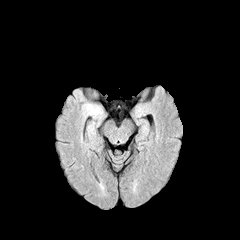
FLAIR magnetic resonance.
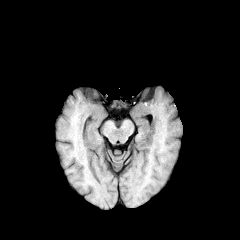
T1-weighted MR of the same slice.
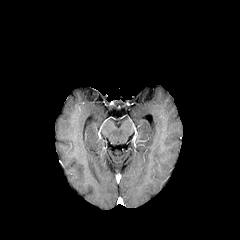
Post-contrast T1-weighted MRI of the same slice.
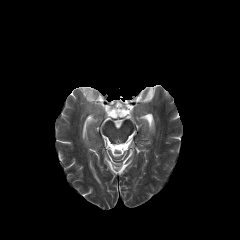
Same slice, T2-weighted MRI.
Head
peritumoral edema: [x1=87, y1=104, x2=99, y2=115]